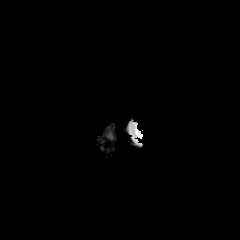
FLAIR MRI.
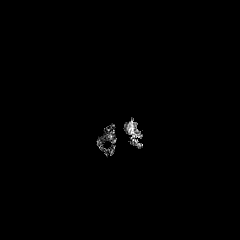
Same slice, T1-weighted MR image.
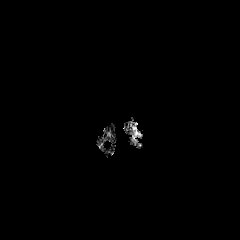
Post-contrast T1-weighted MR image of the same slice.
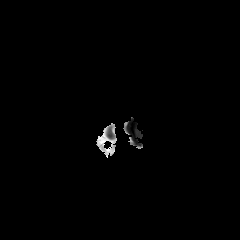
T2-weighted magnetic resonance of the same slice.
peritumoral edema = l=131, t=123, r=142, b=144